Axial plane, Head, Slice 65/155
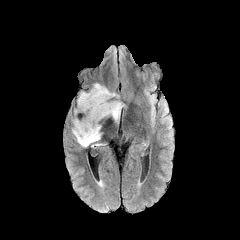
FLAIR magnetic resonance.
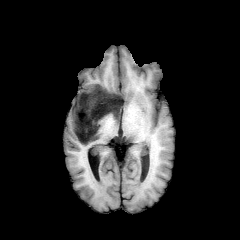
T1-weighted MR image.
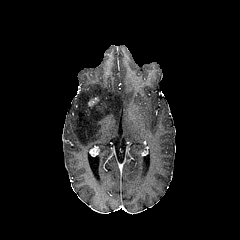
Post-contrast T1-weighted magnetic resonance of the same slice.
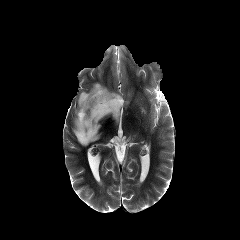
T2-weighted MR.
Findings:
- peritumoral edema: <box>72,83,124,147</box>
- enhancing tumor: <box>88,97,98,106</box>